FLAIR MR.
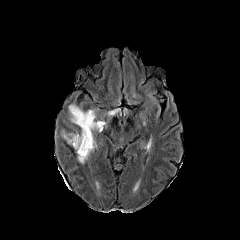
T1-weighted MR image.
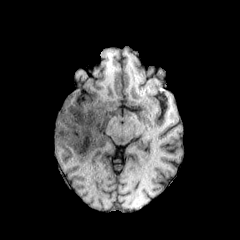
Post-contrast T1-weighted MRI.
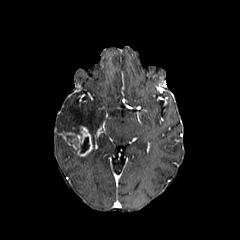
T2-weighted MR image.
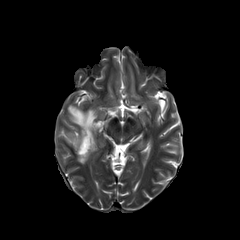
Axial view
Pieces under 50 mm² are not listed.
The largest enhancing tumor region lies within (x1=67, y1=126, x2=92, y2=156). The largest necrotic tumor core region appears at (x1=80, y1=137, x2=89, y2=153). The largest peritumoral edema region is bounded by (x1=67, y1=104, x2=102, y2=186).